240x240 px, Slice index 60, Image covers 240 mm x 240 mm, Brain
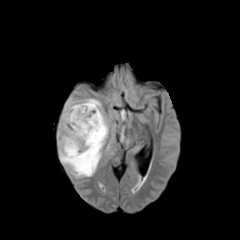
FLAIR magnetic resonance.
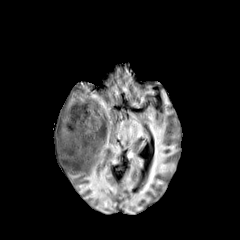
T1-weighted MR.
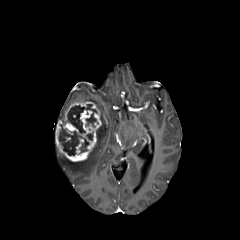
Post-contrast T1-weighted MR image of the same slice.
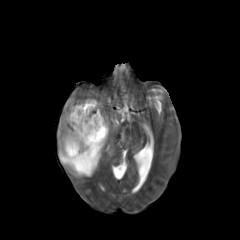
T2-weighted MR.
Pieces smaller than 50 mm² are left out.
enhancing tumor = (x1=56, y1=101, x2=101, y2=161)
peritumoral edema = (x1=59, y1=98, x2=108, y2=177)
necrotic tumor core = (x1=80, y1=138, x2=88, y2=151), (x1=59, y1=125, x2=82, y2=155), (x1=67, y1=104, x2=96, y2=133)